Brain, Axial plane
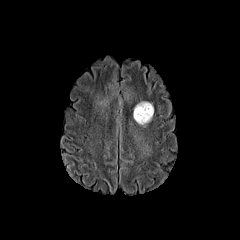
FLAIR MR.
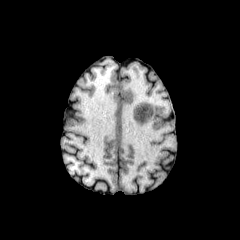
T1-weighted MR image.
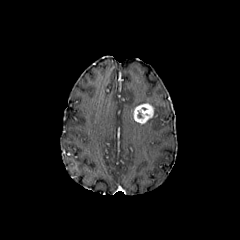
Post-contrast T1-weighted MR.
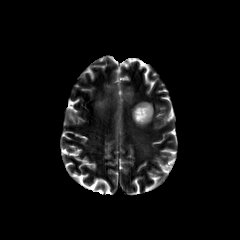
Same slice, T2-weighted MRI.
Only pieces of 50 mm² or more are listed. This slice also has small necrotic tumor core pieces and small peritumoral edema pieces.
enhancing tumor = (133,103,153,124)